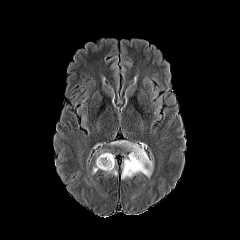
FLAIR magnetic resonance.
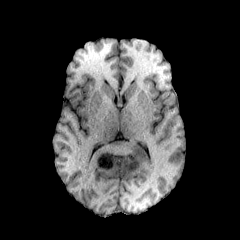
Same slice, T1-weighted MR image.
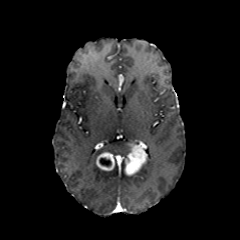
Same slice, post-contrast T1-weighted MR image.
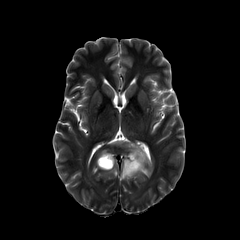
T2-weighted MRI of the same slice.
Head | 240x240 px
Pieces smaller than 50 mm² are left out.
enhancing tumor — left=96, top=151, right=114, bottom=170; left=124, top=142, right=147, bottom=175
necrotic tumor core — left=99, top=158, right=111, bottom=166
peritumoral edema — left=136, top=158, right=153, bottom=177; left=104, top=167, right=117, bottom=175; left=111, top=141, right=130, bottom=149; left=121, top=159, right=133, bottom=179